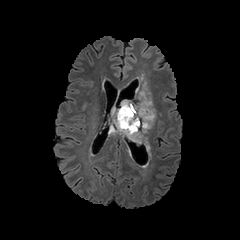
FLAIR MR image.
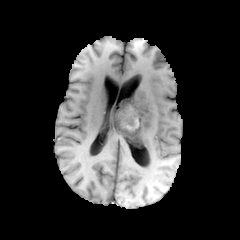
T1-weighted MR.
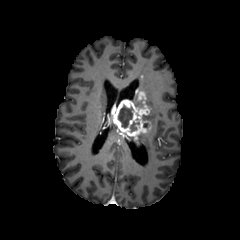
Post-contrast T1-weighted MRI of the same slice.
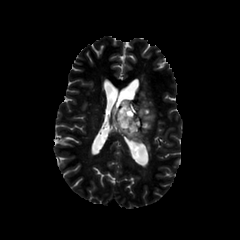
T2-weighted MR image of the same slice.
240x240 px
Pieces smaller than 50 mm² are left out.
Annotated regions:
- enhancing tumor: box=[113, 92, 151, 145]
- necrotic tumor core: box=[118, 107, 133, 127]
- peritumoral edema: box=[137, 131, 151, 151]; box=[132, 76, 154, 129]